FLAIR MR.
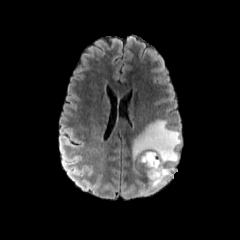
T1-weighted MR image.
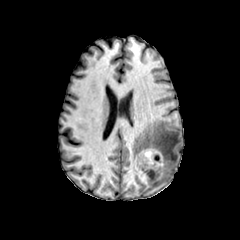
Post-contrast T1-weighted MR image.
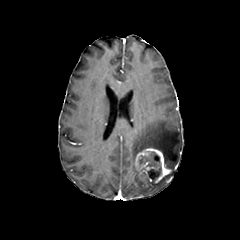
T2-weighted magnetic resonance.
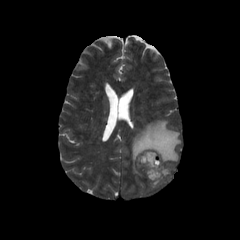
Image size 240x240, Brain
The enhancing tumor is at x1=135, y1=147, x2=171, y2=183. The peritumoral edema is located at x1=132, y1=120, x2=181, y2=188. The necrotic tumor core is at x1=139, y1=152, x2=161, y2=180.